FLAIR MRI.
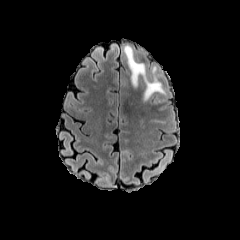
T1-weighted MR image.
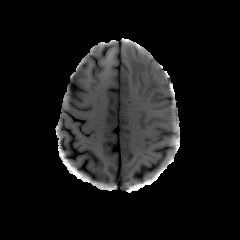
Post-contrast T1-weighted MR image.
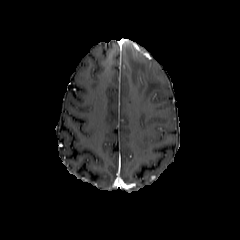
T2-weighted MR.
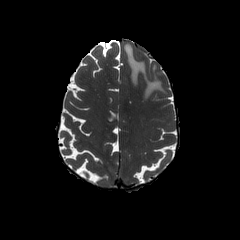
Brain
The peritumoral edema is located at 123,45,165,100.